FLAIR magnetic resonance.
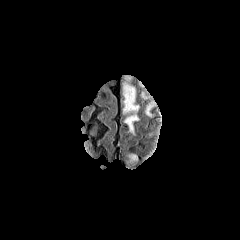
T1-weighted MR.
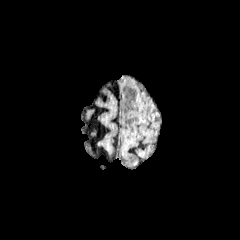
Post-contrast T1-weighted MR image.
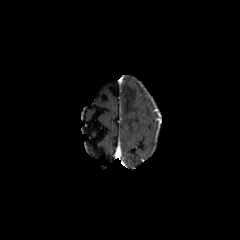
T2-weighted MR image.
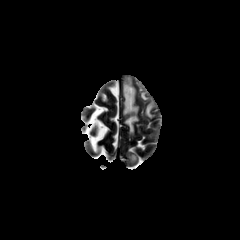
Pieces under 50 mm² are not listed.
The 3 largest peritumoral edema regions are bounded by 127:153:138:165, 123:82:138:133, 145:104:152:116.